FLAIR magnetic resonance.
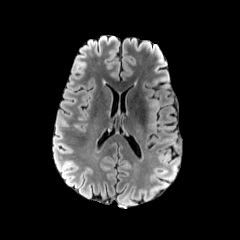
T1-weighted magnetic resonance.
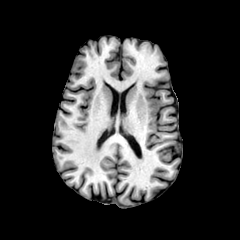
Post-contrast T1-weighted MR.
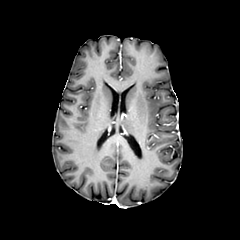
T2-weighted MR.
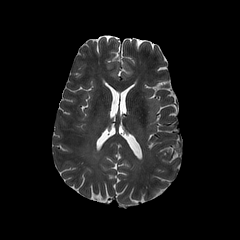
Image size 240x240; Head; Axial view
peritumoral edema: 150, 99, 159, 122